Slice 76/155; Axial slice
FLAIR MR image.
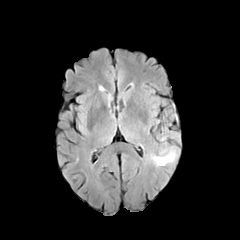
T1-weighted MRI.
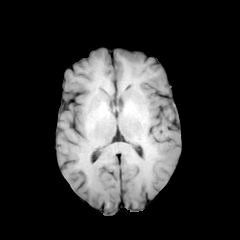
Post-contrast T1-weighted MR.
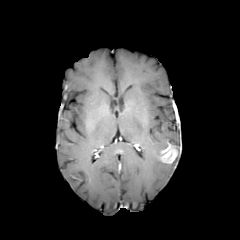
T2-weighted MR.
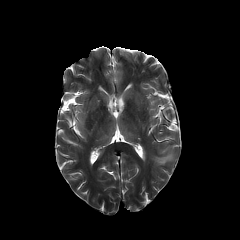
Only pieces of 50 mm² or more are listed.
peritumoral edema at rect(150, 155, 167, 165)
enhancing tumor at rect(160, 145, 177, 163)